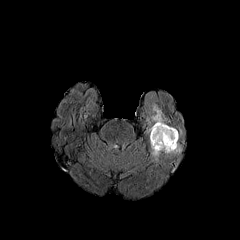
FLAIR MR.
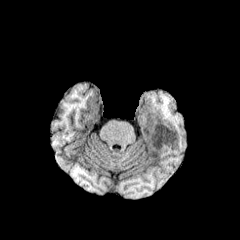
T1-weighted magnetic resonance.
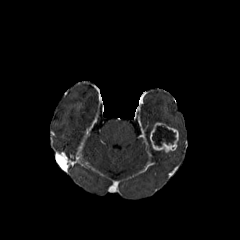
Post-contrast T1-weighted magnetic resonance of the same slice.
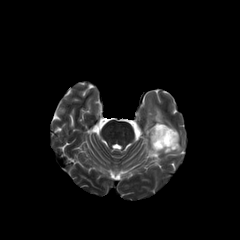
T2-weighted MR of the same slice.
Axial plane
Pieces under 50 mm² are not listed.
necrotic tumor core: (x1=152, y1=125, x2=175, y2=146)
peritumoral edema: (x1=146, y1=103, x2=168, y2=126), (x1=167, y1=141, x2=182, y2=154), (x1=151, y1=144, x2=161, y2=160)
enhancing tumor: (x1=150, y1=122, x2=178, y2=152)